Image size 240x240
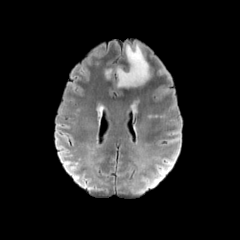
FLAIR MRI.
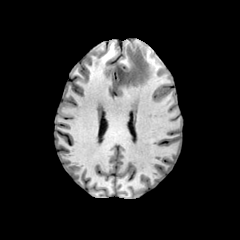
T1-weighted MRI.
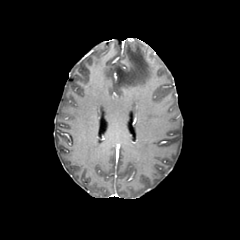
Same slice, post-contrast T1-weighted magnetic resonance.
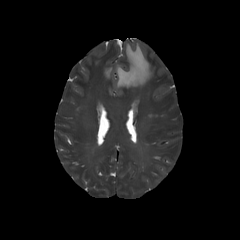
T2-weighted MR.
- peritumoral edema: 116 44 150 87, 105 69 111 77